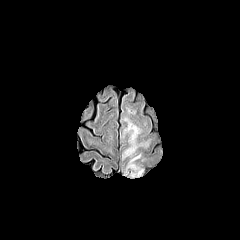
FLAIR MRI.
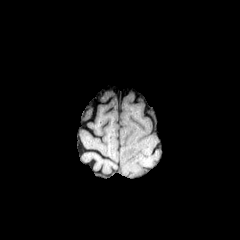
T1-weighted MR.
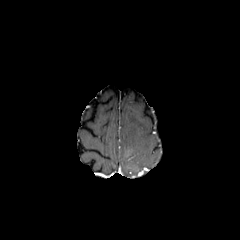
Post-contrast T1-weighted MR image of the same slice.
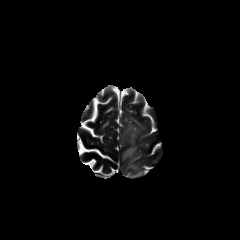
T2-weighted magnetic resonance.
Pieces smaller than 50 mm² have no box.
The 3 largest peritumoral edema regions appear at 130 167 143 177, 120 114 151 162, 126 105 136 114. 2 enhancing tumor regions appear at 124 148 132 157, 123 163 139 172.